Axial slice. Head. Slice index 103.
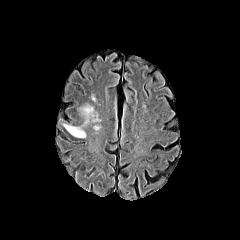
FLAIR MR.
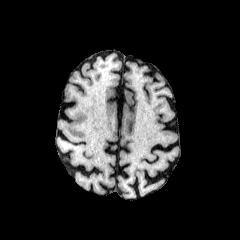
T1-weighted MR.
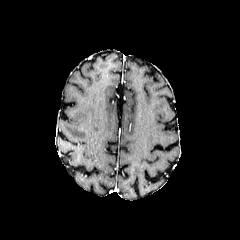
Post-contrast T1-weighted MR.
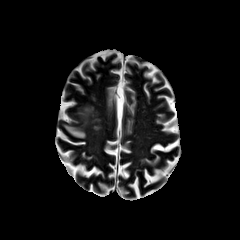
T2-weighted MR.
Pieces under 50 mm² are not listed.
• peritumoral edema: [x1=63, y1=124, x2=85, y2=138], [x1=82, y1=105, x2=93, y2=125]